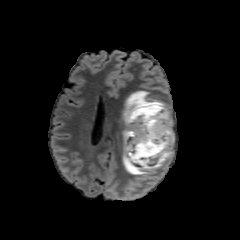
FLAIR MRI.
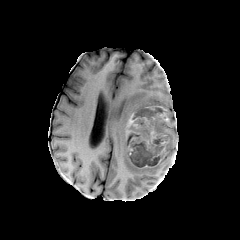
Same slice, T1-weighted MR.
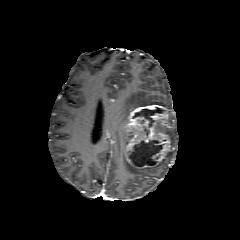
Post-contrast T1-weighted MR image of the same slice.
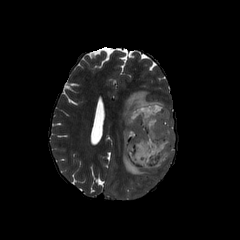
T2-weighted magnetic resonance of the same slice.
Axial view, Head
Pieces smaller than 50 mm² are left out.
The enhancing tumor appears at 126 104 174 168. The 2 largest necrotic tumor core regions are bounded by 129 140 163 166, 132 107 163 126. The 2 largest peritumoral edema regions are located at 122 129 163 178, 123 90 166 125.